Head. Slice index 73.
FLAIR MRI.
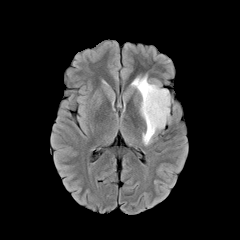
T1-weighted magnetic resonance.
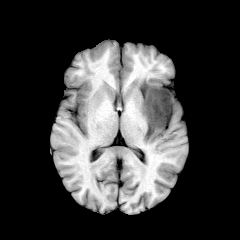
Post-contrast T1-weighted MRI.
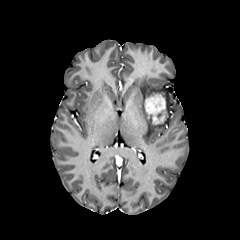
T2-weighted MR image.
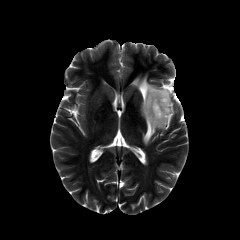
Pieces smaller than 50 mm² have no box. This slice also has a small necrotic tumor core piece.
<segmentation>
  <enhancing_tumor><box>145,93,167,124</box></enhancing_tumor>
  <peritumoral_edema><box>131,75,171,145</box></peritumoral_edema>
</segmentation>